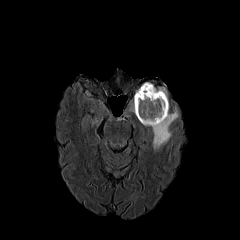
FLAIR magnetic resonance.
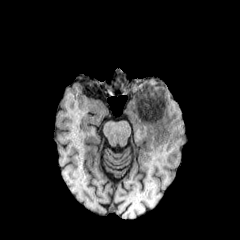
T1-weighted MR image of the same slice.
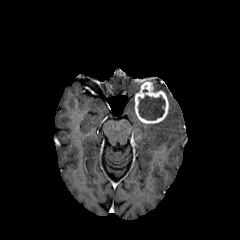
Same slice, post-contrast T1-weighted MRI.
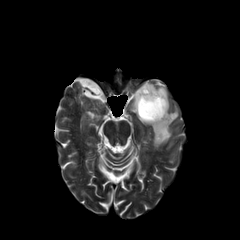
Same slice, T2-weighted magnetic resonance.
Brain, 240x240
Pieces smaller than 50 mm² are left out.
The 2 largest peritumoral edema regions are located at box(142, 107, 178, 149); box(155, 87, 167, 96). The largest necrotic tumor core region is located at box(138, 95, 165, 119). The enhancing tumor is bounded by box(134, 81, 168, 123).